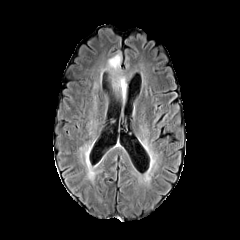
FLAIR magnetic resonance.
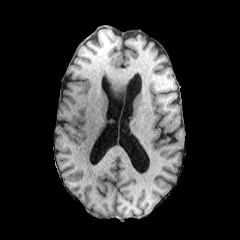
T1-weighted MRI of the same slice.
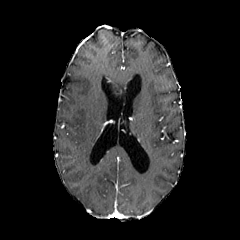
Same slice, post-contrast T1-weighted magnetic resonance.
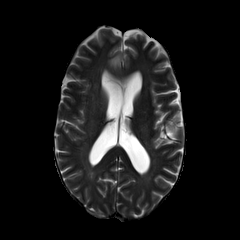
T2-weighted magnetic resonance.
Axial slice | Brain
Annotated regions:
* peritumoral edema: <bbox>112, 78, 125, 97</bbox>, <bbox>108, 54, 120, 70</bbox>